FLAIR MR.
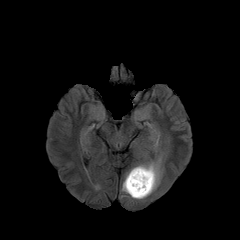
T1-weighted MR image.
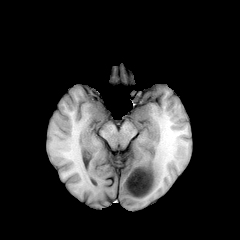
Post-contrast T1-weighted MR.
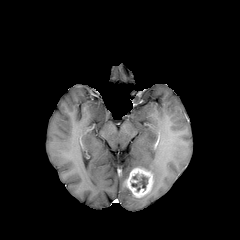
T2-weighted MR image.
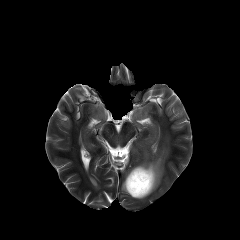
Head; Axial view
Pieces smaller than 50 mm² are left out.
The peritumoral edema appears at bbox=[122, 154, 162, 199]. The largest necrotic tumor core region is at bbox=[131, 175, 148, 191]. The enhancing tumor is bounded by bbox=[124, 167, 153, 197].